Brain; 240x240; Axial view
FLAIR magnetic resonance.
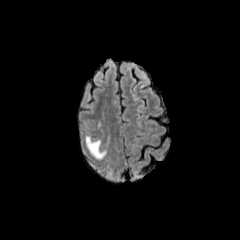
T1-weighted MRI.
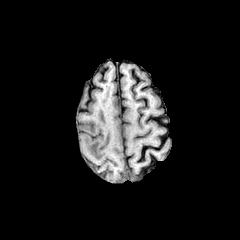
Post-contrast T1-weighted MR image.
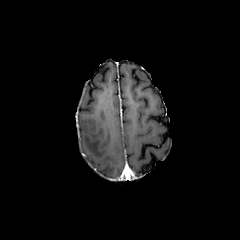
T2-weighted MR image.
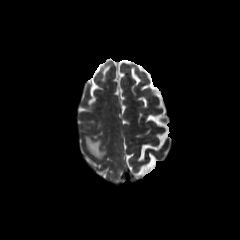
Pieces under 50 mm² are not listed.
peritumoral edema = 85, 136, 107, 158